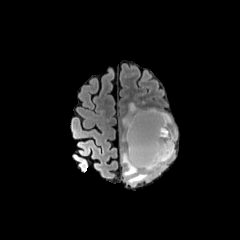
FLAIR magnetic resonance.
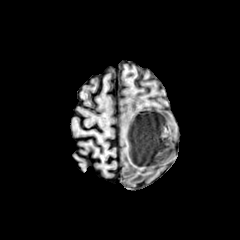
Same slice, T1-weighted MR image.
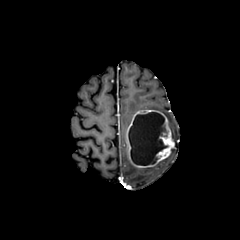
Post-contrast T1-weighted magnetic resonance.
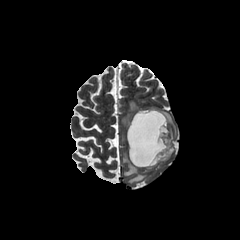
T2-weighted MR image.
Axial slice. Image size 240x240.
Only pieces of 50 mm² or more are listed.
enhancing tumor: <bbox>126, 109, 174, 167</bbox>
peritumoral edema: <bbox>122, 148, 174, 185</bbox>, <bbox>129, 102, 138, 114</bbox>, <bbox>122, 114, 131, 127</bbox>, <bbox>161, 111, 173, 125</bbox>
necrotic tumor core: <bbox>128, 112, 167, 165</bbox>